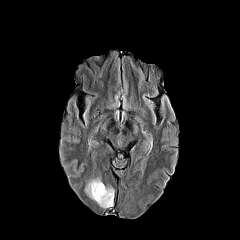
FLAIR magnetic resonance.
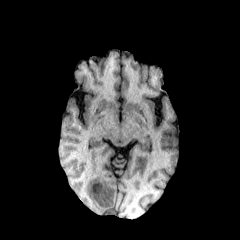
T1-weighted MRI of the same slice.
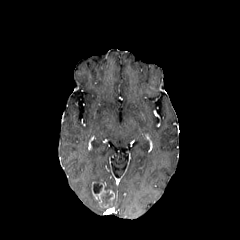
Post-contrast T1-weighted magnetic resonance of the same slice.
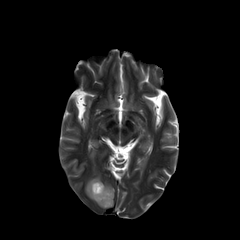
T2-weighted MR image.
Brain; Axial slice
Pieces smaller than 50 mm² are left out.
enhancing tumor: region(91, 181, 114, 207) | peritumoral edema: region(85, 177, 101, 202) | necrotic tumor core: region(93, 183, 102, 193); region(102, 192, 112, 204)